Brain | Image width 240 mm, 1.00 mm slice spacing | Axial slice
FLAIR MR image.
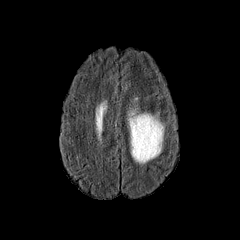
T1-weighted MR image.
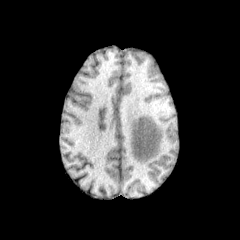
Post-contrast T1-weighted magnetic resonance.
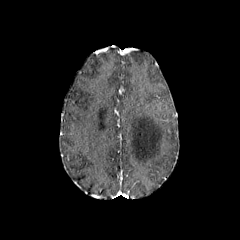
T2-weighted MR image.
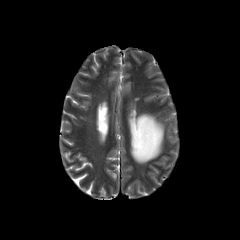
peritumoral edema: (128, 111, 163, 163)